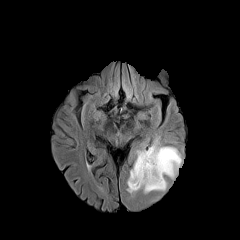
FLAIR MRI.
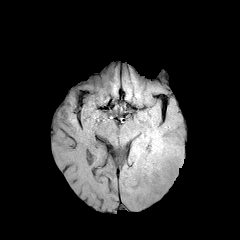
T1-weighted MR image of the same slice.
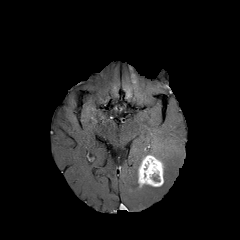
Post-contrast T1-weighted MR image.
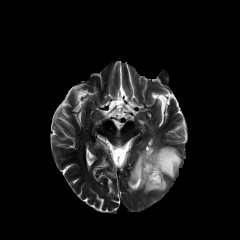
T2-weighted MR.
Brain.
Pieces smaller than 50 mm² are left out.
necrotic tumor core = bbox(150, 158, 161, 182)
enhancing tumor = bbox(138, 155, 164, 187)
peritumoral edema = bbox(127, 139, 182, 193)